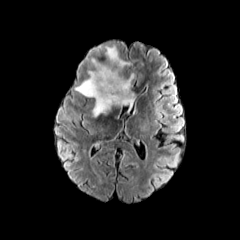
FLAIR magnetic resonance.
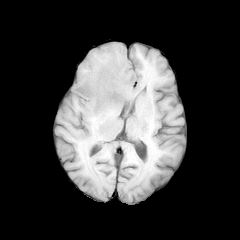
T1-weighted MR of the same slice.
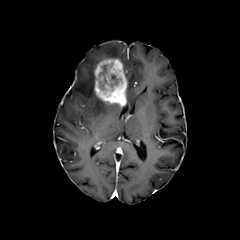
Post-contrast T1-weighted MR.
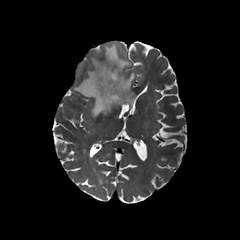
T2-weighted MR image.
Head, Axial view
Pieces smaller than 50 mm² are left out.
necrotic tumor core at bbox(98, 65, 122, 98)
enhancing tumor at bbox(94, 58, 127, 107)
peritumoral edema at bbox(126, 74, 135, 113); bbox(91, 58, 100, 69); bbox(105, 45, 132, 68); bbox(74, 70, 112, 116)